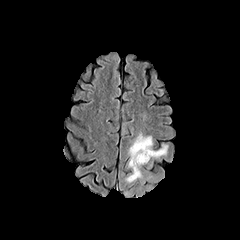
FLAIR MRI.
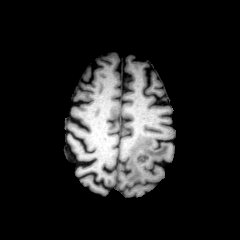
T1-weighted MR image of the same slice.
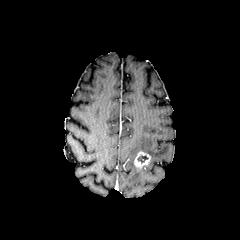
Post-contrast T1-weighted MRI.
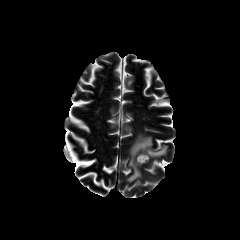
T2-weighted magnetic resonance.
Axial view. Brain.
<segmentation>
  <peritumoral_edema>[x1=125, y1=133, x2=168, y2=183]</peritumoral_edema>
  <enhancing_tumor>[x1=134, y1=151, x2=150, y2=168]</enhancing_tumor>
  <necrotic_tumor_core>[x1=137, y1=155, x2=147, y2=163]</necrotic_tumor_core>
</segmentation>